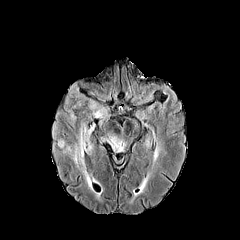
FLAIR MR.
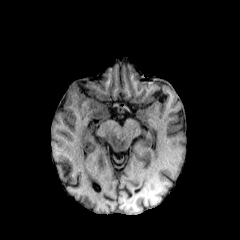
T1-weighted MR image of the same slice.
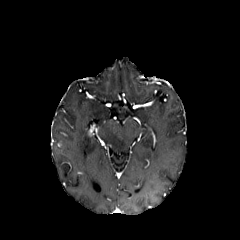
Same slice, post-contrast T1-weighted MR image.
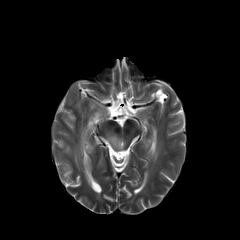
T2-weighted MRI.
Head. Axial plane.
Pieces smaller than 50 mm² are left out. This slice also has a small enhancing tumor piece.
Segmented structures:
* peritumoral edema: <box>94,108,106,118</box>, <box>58,124,92,188</box>, <box>103,134,125,153</box>